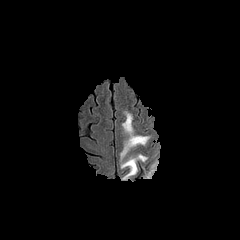
FLAIR magnetic resonance.
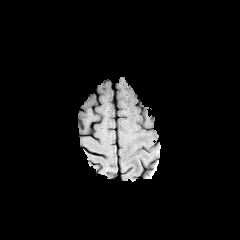
Same slice, T1-weighted magnetic resonance.
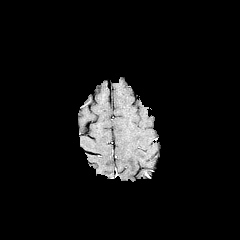
Post-contrast T1-weighted magnetic resonance.
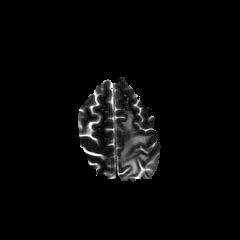
Same slice, T2-weighted MR.
Brain
Findings:
* peritumoral edema: l=120, t=111, r=150, b=179